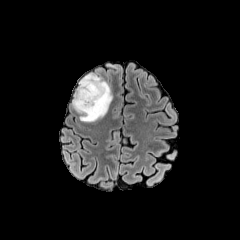
FLAIR MR.
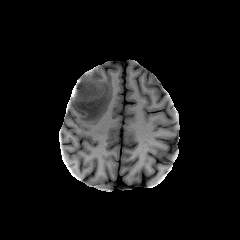
T1-weighted MRI.
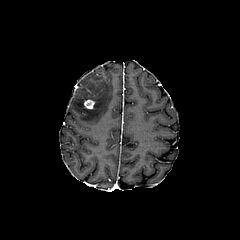
Same slice, post-contrast T1-weighted magnetic resonance.
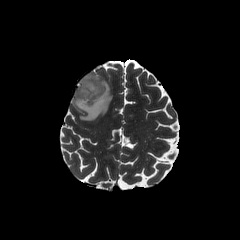
T2-weighted MR image.
Axial plane; 240x240
The enhancing tumor is bounded by (83,98,95,109). The peritumoral edema is bounded by (72,73,112,122).